FLAIR MRI.
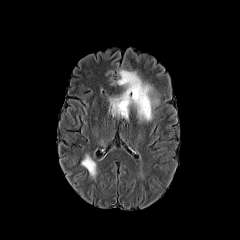
T1-weighted MR.
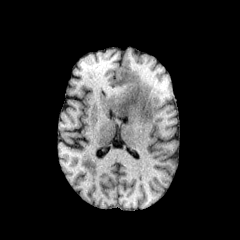
Post-contrast T1-weighted MR.
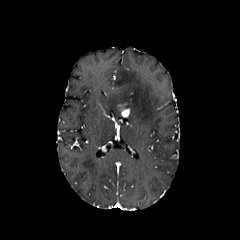
T2-weighted MRI.
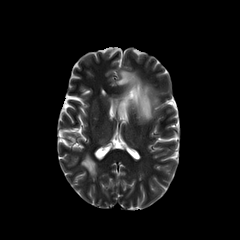
Image size 240x240
The enhancing tumor is located at region(118, 103, 129, 117). 2 peritumoral edema regions are bounded by region(108, 68, 159, 124); region(81, 153, 97, 179).